FLAIR MR.
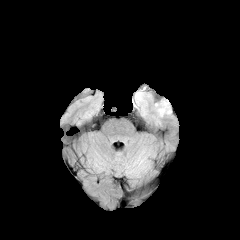
T1-weighted MRI.
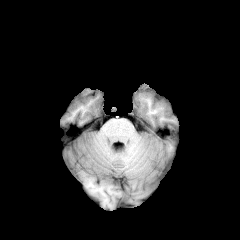
Post-contrast T1-weighted MRI.
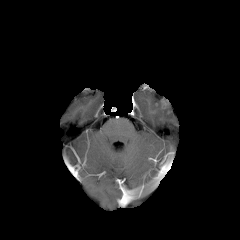
T2-weighted MR.
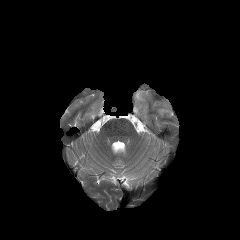
Axial view
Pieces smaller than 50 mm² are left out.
enhancing tumor: (left=161, top=99, right=168, bottom=108) | peritumoral edema: (left=134, top=85, right=151, bottom=116), (left=154, top=102, right=171, bottom=117)